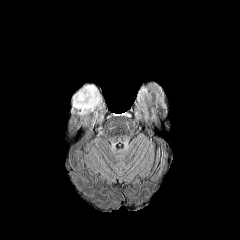
FLAIR MRI.
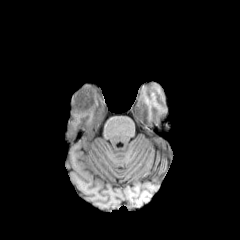
T1-weighted MR.
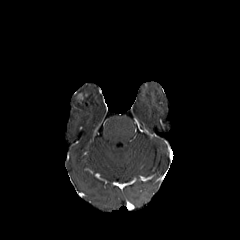
Same slice, post-contrast T1-weighted MR image.
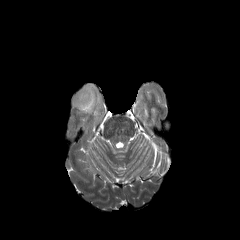
T2-weighted MRI of the same slice.
240x240 px.
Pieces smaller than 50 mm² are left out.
The peritumoral edema lies within [70,83,104,116]. The largest enhancing tumor region appears at [76,92,84,103].